Head | Image width 240 mm | Slice 130 of 155
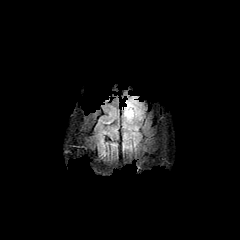
FLAIR MR image.
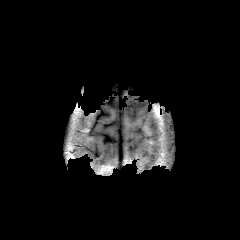
T1-weighted MR image.
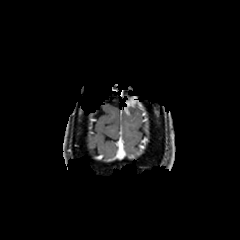
Same slice, post-contrast T1-weighted MR.
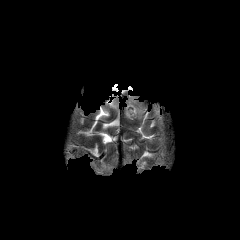
T2-weighted magnetic resonance.
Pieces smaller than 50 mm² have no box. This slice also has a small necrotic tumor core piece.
peritumoral edema: bbox=[124, 104, 140, 119]
enhancing tumor: bbox=[124, 96, 141, 115]